Image covers 240 mm x 240 mm, Slice index 61, Image size 240x240, Brain
FLAIR MRI.
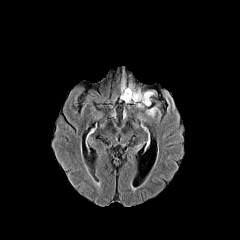
T1-weighted magnetic resonance.
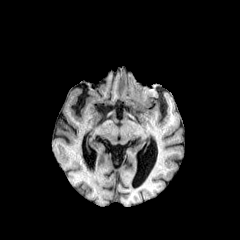
Post-contrast T1-weighted MR.
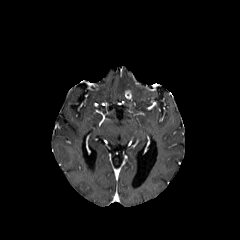
T2-weighted magnetic resonance.
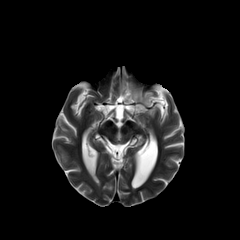
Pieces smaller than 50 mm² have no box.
<segmentation>
  <peritumoral_edema>(120, 73, 153, 105), (146, 107, 157, 116)</peritumoral_edema>
  <enhancing_tumor>(125, 90, 131, 99)</enhancing_tumor>
</segmentation>